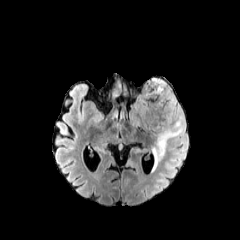
FLAIR magnetic resonance.
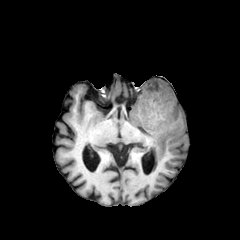
T1-weighted MR image of the same slice.
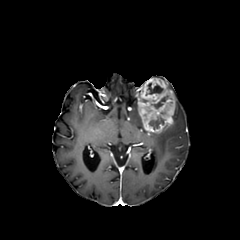
Post-contrast T1-weighted MR.
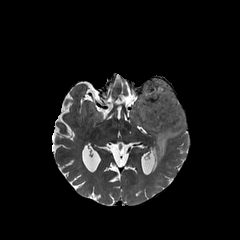
T2-weighted MRI.
240x240 px.
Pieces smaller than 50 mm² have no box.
peritumoral edema at (x1=152, y1=100, x2=185, y2=171)
necrotic tumor core at (x1=149, y1=116, x2=163, y2=129), (x1=151, y1=96, x2=168, y2=108), (x1=148, y1=83, x2=163, y2=94)
enhancing tumor at (x1=137, y1=78, x2=175, y2=133)